Axial plane. 240x240. Head.
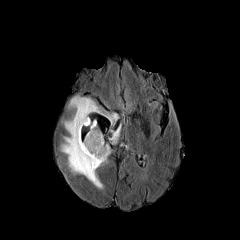
FLAIR MRI.
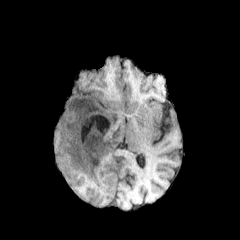
T1-weighted MRI.
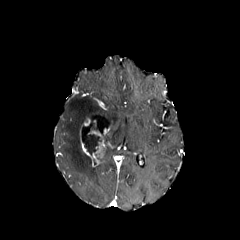
Post-contrast T1-weighted magnetic resonance.
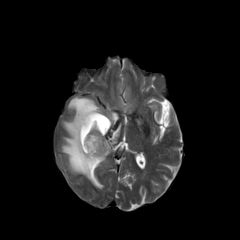
Same slice, T2-weighted MR image.
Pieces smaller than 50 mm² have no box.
Annotated regions:
- necrotic tumor core: box=[83, 134, 101, 155]
- enhancing tumor: box=[80, 127, 105, 166]
- peritumoral edema: box=[109, 124, 121, 144]; box=[61, 94, 118, 188]